Brain
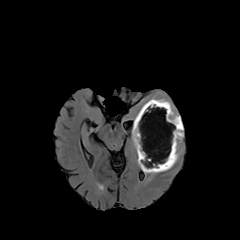
FLAIR magnetic resonance.
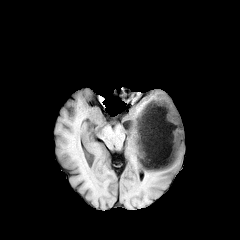
Same slice, T1-weighted MR image.
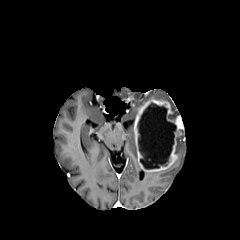
Post-contrast T1-weighted MR of the same slice.
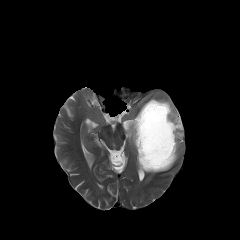
Same slice, T2-weighted MR image.
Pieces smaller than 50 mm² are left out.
Segmented structures:
* enhancing tumor: [133,99,183,171]
* necrotic tumor core: [138,102,176,169]
* peritumoral edema: [176,137,184,158], [148,97,178,114], [131,128,136,153], [143,164,173,174]